FLAIR magnetic resonance.
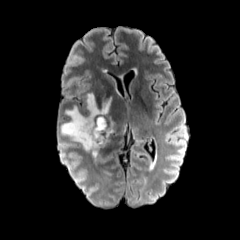
T1-weighted MR.
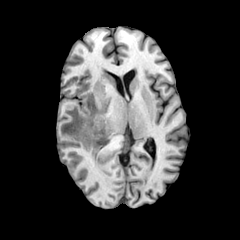
Post-contrast T1-weighted MR.
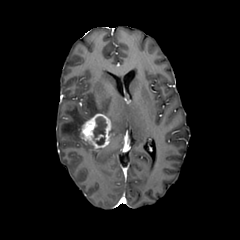
T2-weighted MR image.
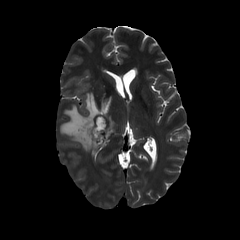
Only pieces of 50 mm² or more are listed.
Findings:
* peritumoral edema: (left=109, top=117, right=116, bottom=133), (left=60, top=93, right=111, bottom=156)
* necrotic tumor core: (left=93, top=116, right=106, bottom=145)
* enhancing tumor: (left=80, top=113, right=112, bottom=151)